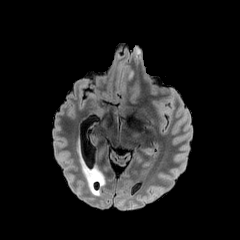
FLAIR MR.
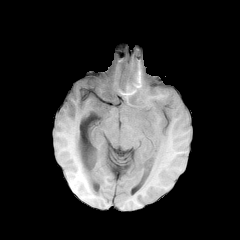
T1-weighted MR.
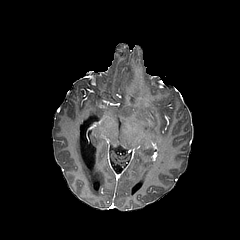
Same slice, post-contrast T1-weighted magnetic resonance.
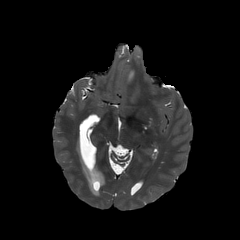
Same slice, T2-weighted MRI.
Axial slice. Brain.
peritumoral edema — box=[126, 71, 133, 81]